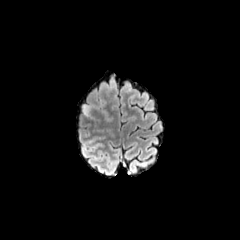
FLAIR MR.
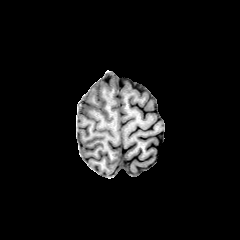
T1-weighted MR image.
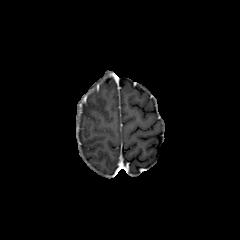
Post-contrast T1-weighted MRI.
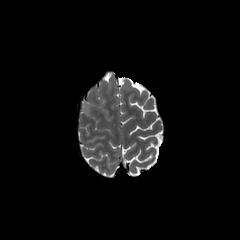
T2-weighted MR of the same slice.
Brain; 240x240 px; Axial slice
peritumoral edema — 81 103 88 114